FLAIR MRI.
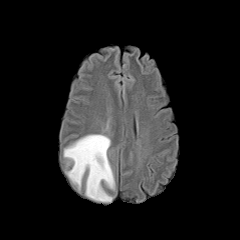
T1-weighted MR image.
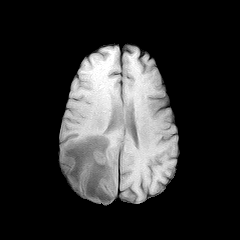
Post-contrast T1-weighted MRI.
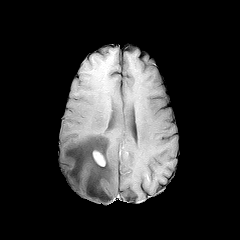
T2-weighted MRI.
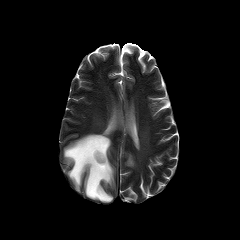
240x240. Brain.
peritumoral edema = <box>63,134,114,202</box>
enhancing tumor = <box>93,151,105,166</box>